FLAIR MR image.
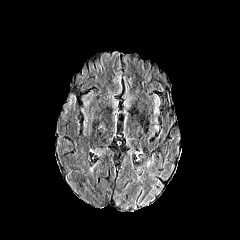
T1-weighted MR.
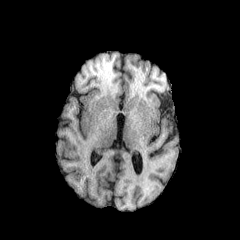
Post-contrast T1-weighted MRI.
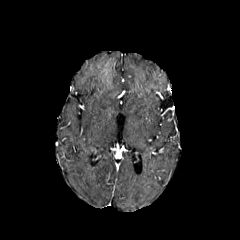
T2-weighted MR.
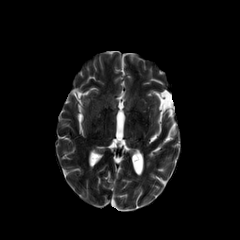
Axial slice.
The peritumoral edema is bounded by left=81, top=91, right=93, bottom=122.